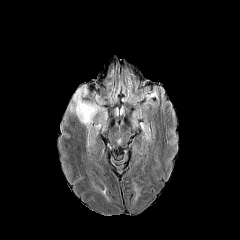
FLAIR MRI.
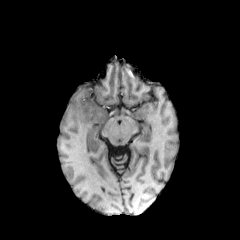
T1-weighted MR image.
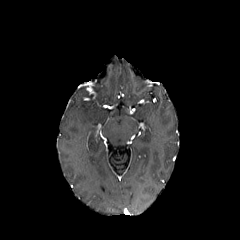
Post-contrast T1-weighted magnetic resonance.
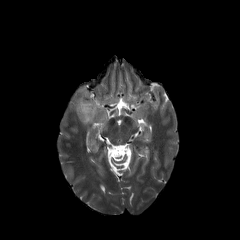
T2-weighted MRI.
peritumoral_edema:
  - x1=68, y1=83, x2=108, y2=124